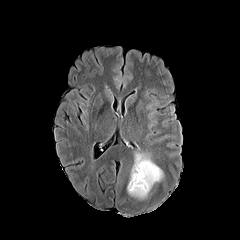
FLAIR magnetic resonance.
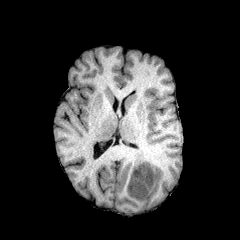
T1-weighted MR of the same slice.
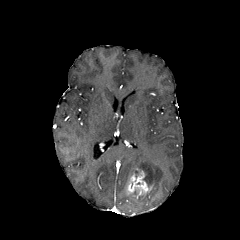
Post-contrast T1-weighted MR image.
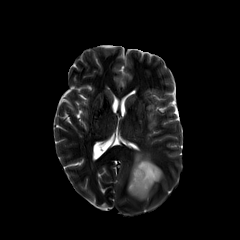
T2-weighted MR of the same slice.
240x240 px; Brain; Axial view
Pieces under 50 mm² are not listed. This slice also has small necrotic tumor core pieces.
Annotated regions:
- peritumoral edema: x1=130 y1=153 x2=163 y2=186
- enhancing tumor: x1=127 y1=168 x2=151 y2=196